Brain
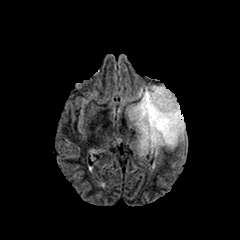
FLAIR MRI.
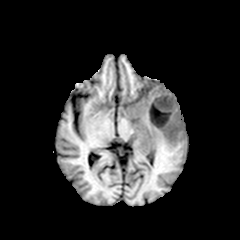
Same slice, T1-weighted MR image.
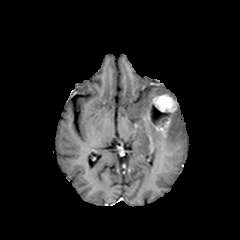
Post-contrast T1-weighted MRI.
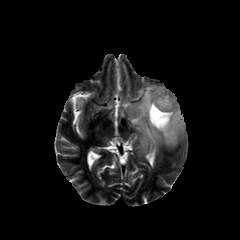
T2-weighted MRI of the same slice.
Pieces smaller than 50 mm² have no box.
peritumoral edema: <box>127,85,185,156</box>
necrotic tumor core: <box>149,104,171,125</box>
enhancing tumor: <box>147,105,171,137</box>, <box>150,94,177,113</box>